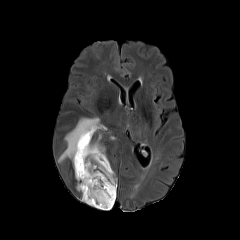
FLAIR MR.
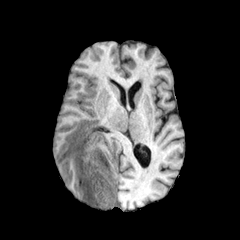
T1-weighted MR.
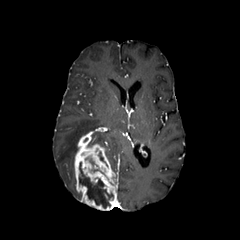
Post-contrast T1-weighted MRI.
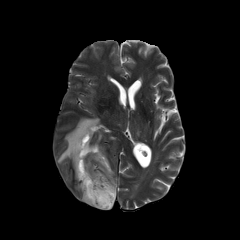
T2-weighted magnetic resonance.
Head | Axial view
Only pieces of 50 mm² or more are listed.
Annotated regions:
* peritumoral edema: box=[58, 117, 104, 166]; box=[88, 134, 101, 145]
* necrotic tumor core: box=[79, 162, 113, 208]
* enhancing tumor: box=[74, 131, 117, 210]